Axial view. Head. Image size 240x240.
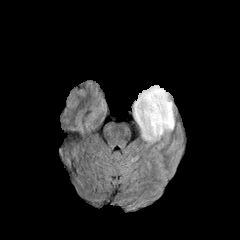
FLAIR MRI.
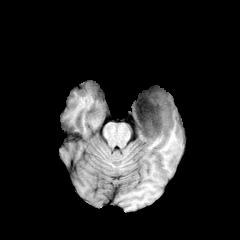
Same slice, T1-weighted MR image.
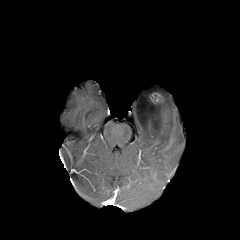
Post-contrast T1-weighted MR of the same slice.
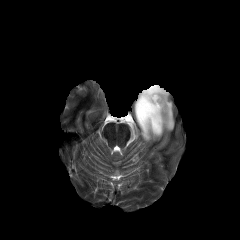
Same slice, T2-weighted magnetic resonance.
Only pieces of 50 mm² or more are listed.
peritumoral edema: bounding box (left=133, top=88, right=174, bottom=143)
enhancing tumor: bounding box (left=140, top=92, right=165, bottom=132), (left=135, top=87, right=161, bottom=122)
necrotic tumor core: bounding box (left=137, top=88, right=164, bottom=130)